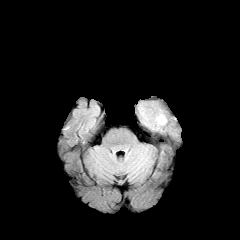
FLAIR MR.
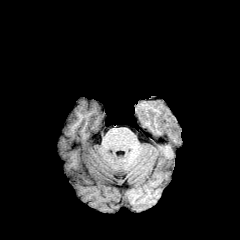
T1-weighted MR image of the same slice.
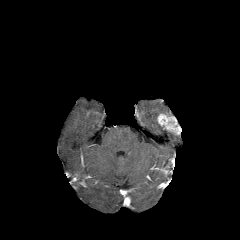
Same slice, post-contrast T1-weighted MR.
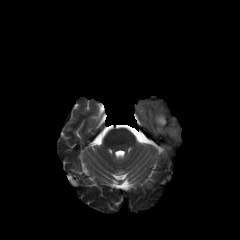
T2-weighted MRI.
The peritumoral edema is bounded by (154,110,162,128). The enhancing tumor is at (157,113,181,135).